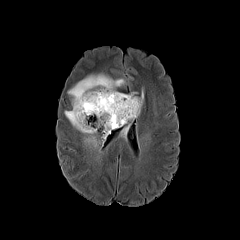
FLAIR magnetic resonance.
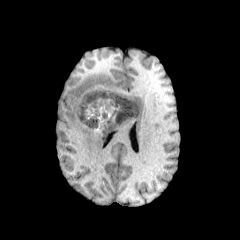
T1-weighted MR image.
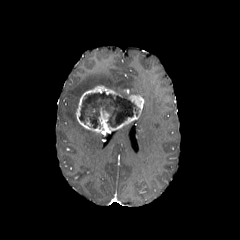
Post-contrast T1-weighted magnetic resonance of the same slice.
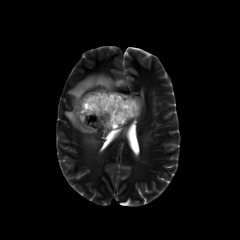
T2-weighted MR image of the same slice.
Brain | Axial slice
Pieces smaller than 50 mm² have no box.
The 2 largest peritumoral edema regions are bounded by <bbox>121, 123, 129, 136</bbox>, <bbox>64, 74, 125, 147</bbox>. The necrotic tumor core appears at <bbox>79, 92, 138, 128</bbox>. The largest enhancing tumor region is at <bbox>75, 86, 144, 133</bbox>.